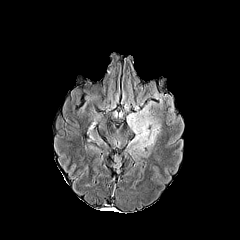
FLAIR MR.
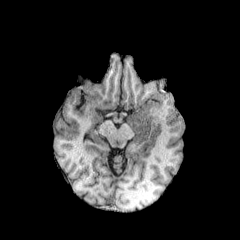
T1-weighted MR.
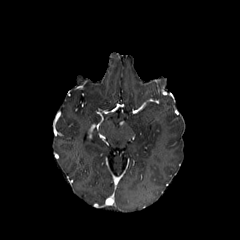
Post-contrast T1-weighted MR image.
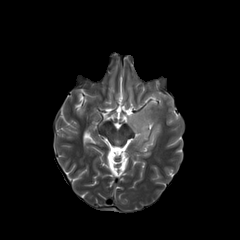
T2-weighted magnetic resonance of the same slice.
Brain. 240x240.
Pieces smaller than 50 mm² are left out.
peritumoral_edema:
  - (x1=127, y1=102, x2=160, y2=149)